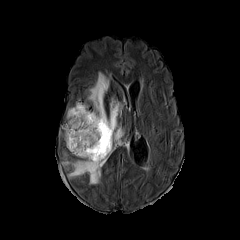
FLAIR MR image.
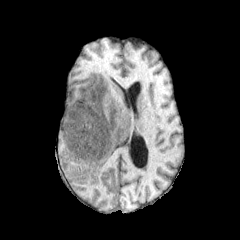
Same slice, T1-weighted magnetic resonance.
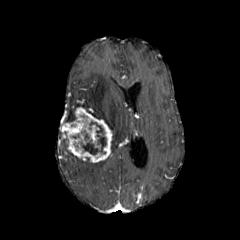
Same slice, post-contrast T1-weighted MR.
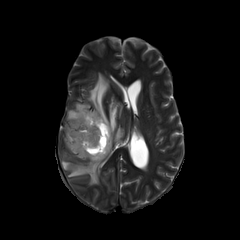
T2-weighted MR.
Brain; 240x240; Axial plane
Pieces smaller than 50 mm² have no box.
peritumoral edema: 67 103 88 121, 87 73 123 152, 62 158 106 184 | enhancing tumor: 60 106 112 162 | necrotic tumor core: 81 122 106 154